FLAIR MR image.
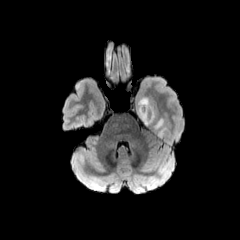
T1-weighted MRI.
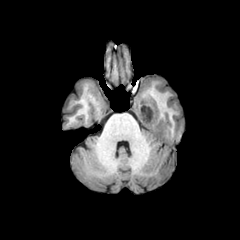
Post-contrast T1-weighted MR.
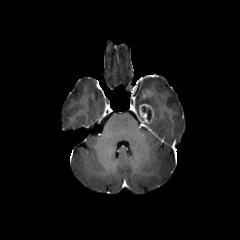
T2-weighted MR.
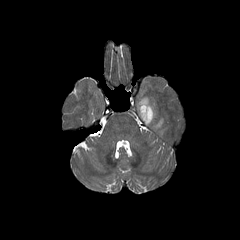
Image size 240x240, Axial slice
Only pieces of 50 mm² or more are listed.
* necrotic tumor core: l=142, t=106, r=151, b=120
* enhancing tumor: l=139, t=103, r=154, b=124
* peritumoral edema: l=137, t=95, r=167, b=137